FLAIR magnetic resonance.
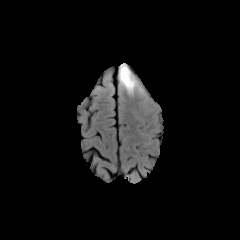
T1-weighted magnetic resonance.
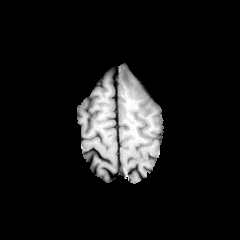
Post-contrast T1-weighted MRI.
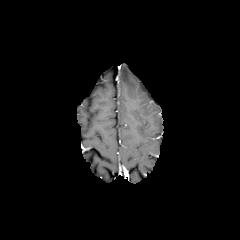
T2-weighted MRI.
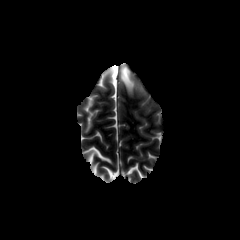
{"peritumoral_edema": ["<bbox>119, 64, 144, 95</bbox>"]}